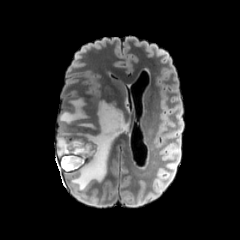
FLAIR MRI.
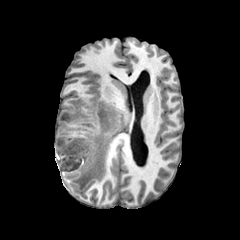
T1-weighted MRI of the same slice.
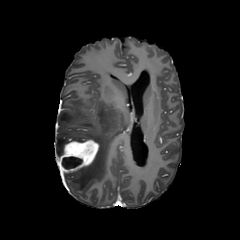
Same slice, post-contrast T1-weighted MR image.
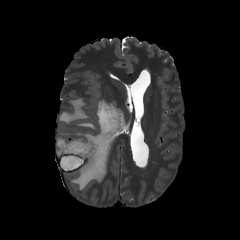
T2-weighted MRI of the same slice.
Brain
enhancing tumor — (left=56, top=139, right=99, bottom=172)
peritumoral edema — (left=60, top=98, right=87, bottom=123), (left=56, top=101, right=127, bottom=190)
necrotic tumor core — (left=62, top=156, right=82, bottom=169)